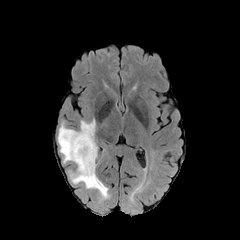
FLAIR MR image.
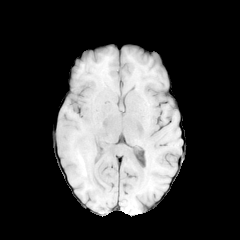
Same slice, T1-weighted MRI.
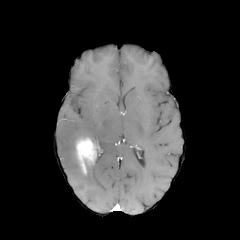
Same slice, post-contrast T1-weighted magnetic resonance.
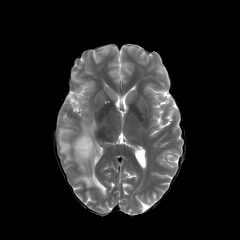
T2-weighted MR of the same slice.
Image size 240x240. Axial view. Head.
enhancing tumor = left=75, top=135, right=97, bottom=174
peritumoral edema = left=57, top=118, right=109, bottom=199